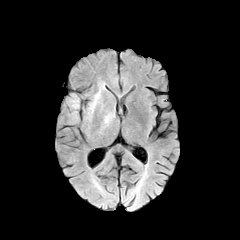
FLAIR magnetic resonance.
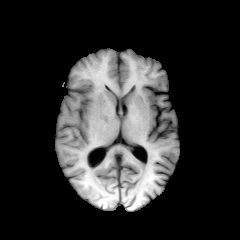
Same slice, T1-weighted MR image.
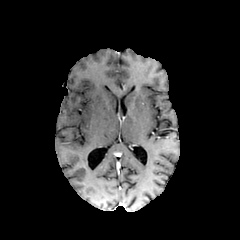
Post-contrast T1-weighted MR image of the same slice.
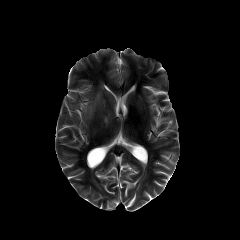
T2-weighted MR image.
Head | Axial plane
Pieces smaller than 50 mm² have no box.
<segmentation>
  <peritumoral_edema>[89, 90, 100, 112]</peritumoral_edema>
</segmentation>